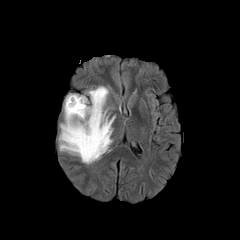
FLAIR MR image.
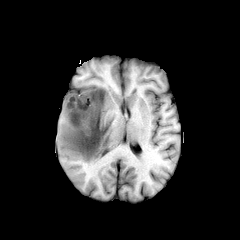
T1-weighted MRI.
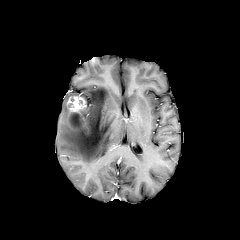
Post-contrast T1-weighted magnetic resonance.
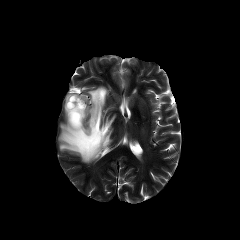
T2-weighted MR of the same slice.
240x240; Axial slice; Head
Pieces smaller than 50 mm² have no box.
necrotic tumor core: 70, 112, 82, 126 | peritumoral edema: 58, 86, 115, 164 | enhancing tumor: 67, 96, 88, 133